FLAIR MR.
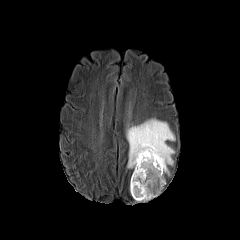
T1-weighted MRI.
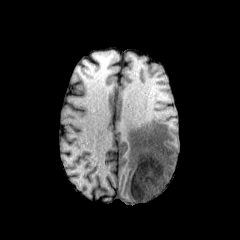
Post-contrast T1-weighted magnetic resonance.
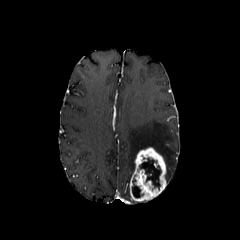
T2-weighted MR.
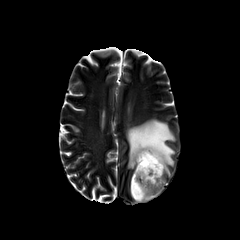
240x240 px
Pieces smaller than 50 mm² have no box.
{
  "peritumoral_edema": [
    "(126, 118, 175, 175)"
  ],
  "necrotic_tumor_core": [
    "(140, 158, 161, 188)",
    "(132, 179, 142, 197)"
  ],
  "enhancing_tumor": [
    "(130, 147, 166, 201)"
  ]
}